Axial slice, Head
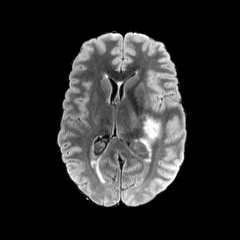
FLAIR MRI.
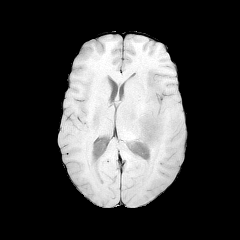
T1-weighted MR image of the same slice.
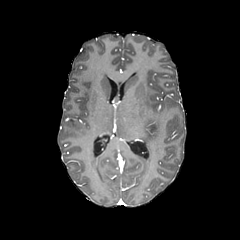
Post-contrast T1-weighted MRI.
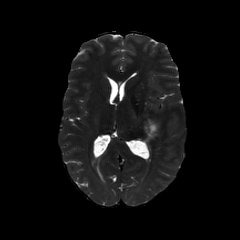
T2-weighted MR image of the same slice.
peritumoral edema: 142,117,160,145